FLAIR MR.
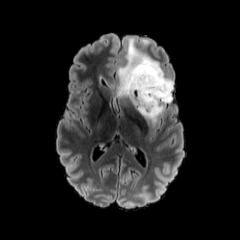
T1-weighted MR.
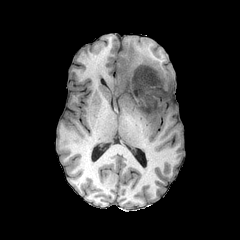
Post-contrast T1-weighted magnetic resonance.
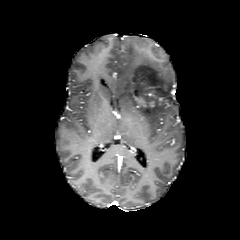
T2-weighted MR.
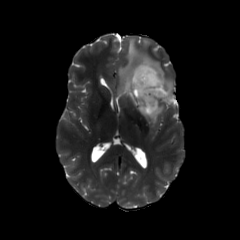
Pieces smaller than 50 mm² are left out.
Annotated regions:
- peritumoral edema: bbox(116, 38, 173, 125)
- enhancing tumor: bbox(144, 90, 166, 103); bbox(133, 95, 155, 108)